Slice 39 of 155, Axial view
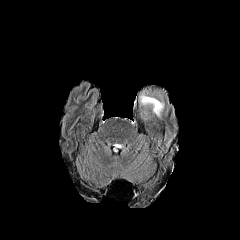
FLAIR MR.
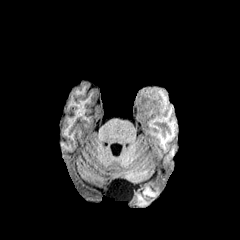
Same slice, T1-weighted MR image.
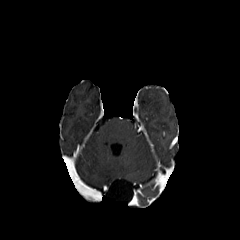
Post-contrast T1-weighted MRI.
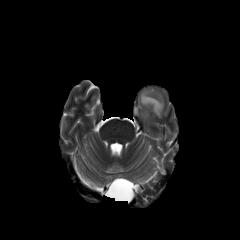
Same slice, T2-weighted MRI.
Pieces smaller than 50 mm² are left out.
peritumoral edema: left=139, top=89, right=164, bottom=118